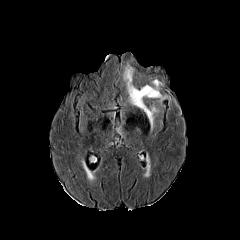
FLAIR MR image.
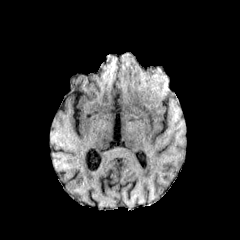
Same slice, T1-weighted MR.
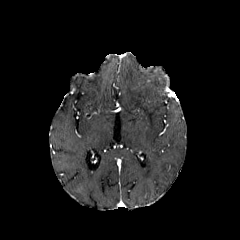
Same slice, post-contrast T1-weighted MR image.
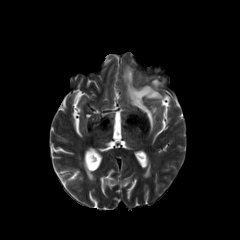
T2-weighted MR image.
Brain; Axial slice
peritumoral edema at region(123, 65, 165, 129)